FLAIR MRI.
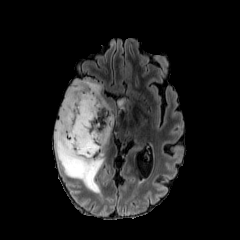
T1-weighted MR.
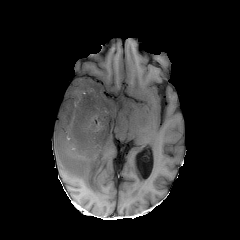
Post-contrast T1-weighted MR.
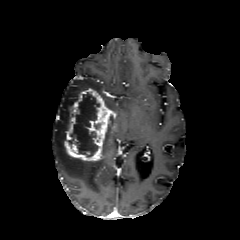
T2-weighted MRI.
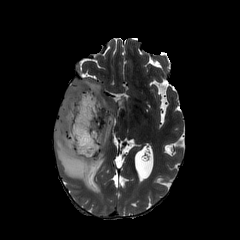
Head
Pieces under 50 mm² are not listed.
Findings:
- peritumoral edema: region(54, 80, 104, 193); region(117, 98, 125, 107); region(104, 116, 112, 146)
- necrotic tumor core: region(68, 93, 99, 156)
- enhancing tumor: region(64, 88, 116, 161)